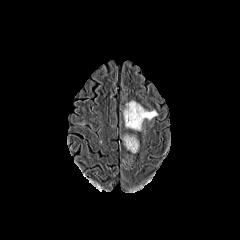
FLAIR magnetic resonance.
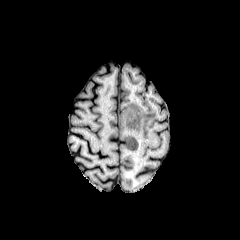
Same slice, T1-weighted MRI.
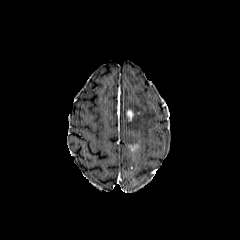
Post-contrast T1-weighted MR of the same slice.
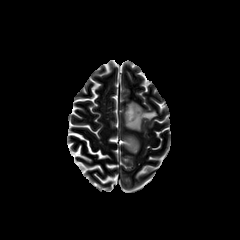
T2-weighted MR.
240x240 px, Brain
enhancing tumor: bounding box bbox=[126, 109, 134, 121]; bbox=[127, 143, 138, 152]
peritumoral edema: bounding box bbox=[123, 135, 138, 148]; bbox=[124, 101, 157, 130]